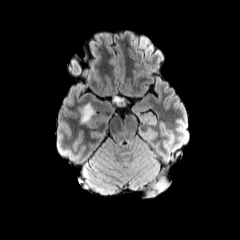
FLAIR MR image.
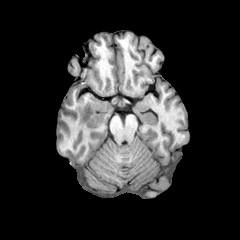
T1-weighted MR.
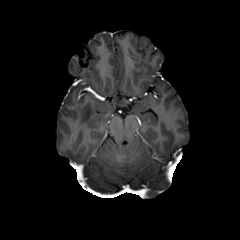
Post-contrast T1-weighted magnetic resonance.
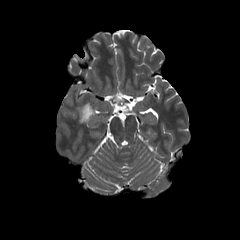
T2-weighted MR image.
peritumoral edema: [x1=112, y1=96, x2=121, y2=103], [x1=78, y1=103, x2=93, y2=122]